Image covers 240 mm x 240 mm | Brain
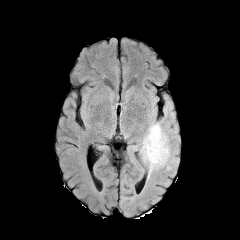
FLAIR magnetic resonance.
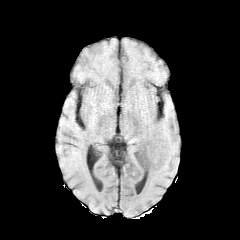
T1-weighted magnetic resonance of the same slice.
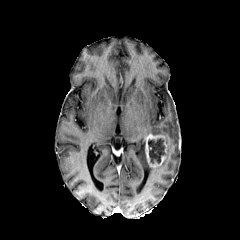
Post-contrast T1-weighted MR image.
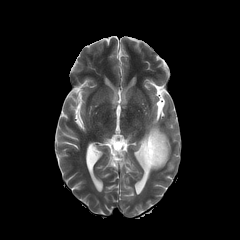
T2-weighted MRI.
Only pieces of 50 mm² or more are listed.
The necrotic tumor core is at [148, 138, 165, 163]. The largest peritumoral edema region is bounded by [138, 123, 174, 175]. The largest enhancing tumor region lies within [145, 133, 167, 168].